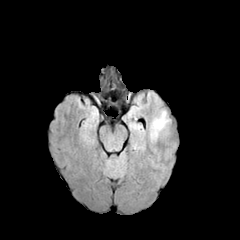
FLAIR magnetic resonance.
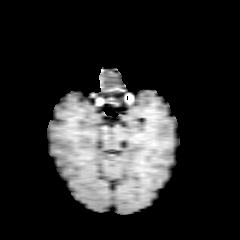
T1-weighted MR of the same slice.
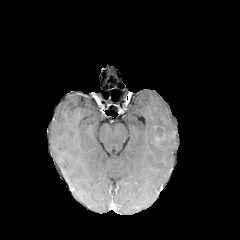
Same slice, post-contrast T1-weighted magnetic resonance.
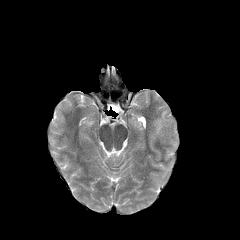
T2-weighted MR image of the same slice.
Head. Axial view.
enhancing tumor = bbox=[154, 125, 165, 140]
peritumoral edema = bbox=[150, 111, 169, 141]